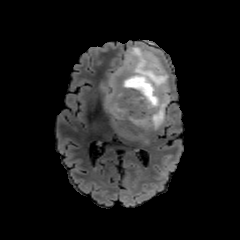
FLAIR magnetic resonance.
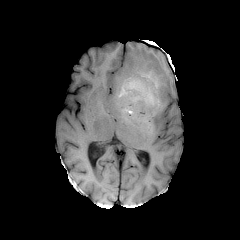
T1-weighted MR image.
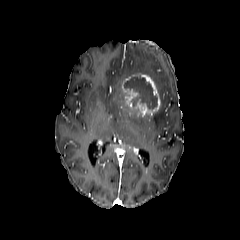
Post-contrast T1-weighted MR image.
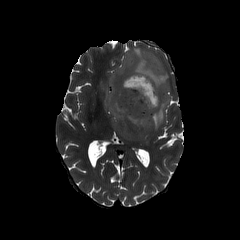
T2-weighted magnetic resonance.
Head. Image size 240x240. Axial view.
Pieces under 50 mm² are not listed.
{
  "necrotic_tumor_core": [
    "(125, 76, 157, 110)"
  ],
  "enhancing_tumor": [
    "(122, 73, 160, 116)"
  ],
  "peritumoral_edema": [
    "(100, 44, 171, 144)"
  ]
}